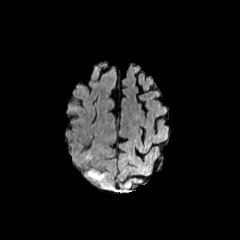
FLAIR magnetic resonance.
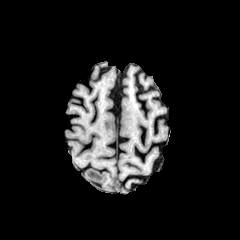
T1-weighted magnetic resonance.
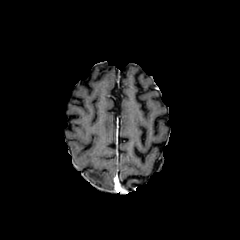
Same slice, post-contrast T1-weighted MRI.
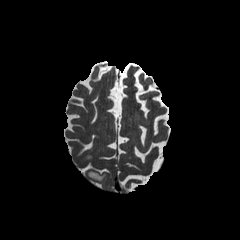
Same slice, T2-weighted MRI.
Image size 240x240. Brain. Axial slice.
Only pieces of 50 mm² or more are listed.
<segmentation>
  <peritumoral_edema>(87,168,104,180)</peritumoral_edema>
</segmentation>